240x240 px. Brain. Axial slice.
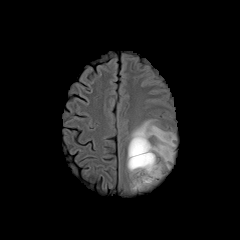
FLAIR MR.
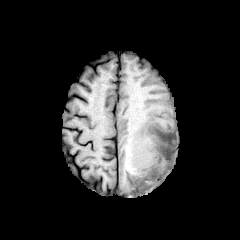
T1-weighted MRI.
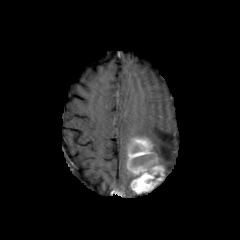
Post-contrast T1-weighted magnetic resonance of the same slice.
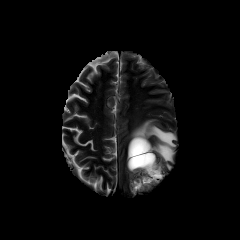
Same slice, T2-weighted MRI.
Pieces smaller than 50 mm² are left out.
enhancing_tumor:
  - {"x1": 127, "y1": 137, "x2": 164, "y2": 193}
peritumoral_edema:
  - {"x1": 127, "y1": 119, "x2": 176, "y2": 169}
necrotic_tumor_core:
  - {"x1": 132, "y1": 154, "x2": 153, "y2": 166}
  - {"x1": 145, "y1": 174, "x2": 159, "y2": 183}